Brain | Slice index 74 | Axial slice
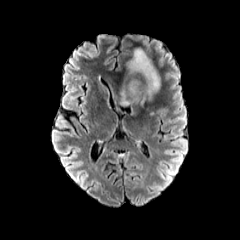
FLAIR MRI.
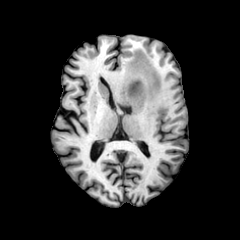
Same slice, T1-weighted MR.
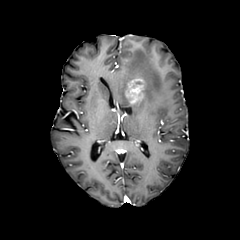
Post-contrast T1-weighted MR.
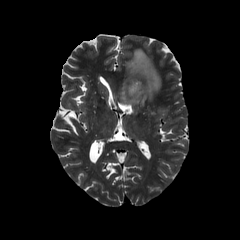
Same slice, T2-weighted magnetic resonance.
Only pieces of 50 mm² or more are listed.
{
  "peritumoral_edema": [
    "region(119, 49, 160, 104)"
  ],
  "enhancing_tumor": [
    "region(125, 77, 144, 104)"
  ]
}